FLAIR MR.
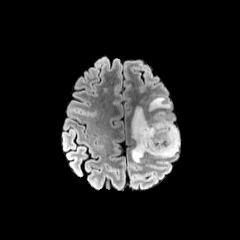
T1-weighted magnetic resonance.
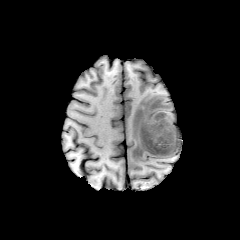
Post-contrast T1-weighted MR image.
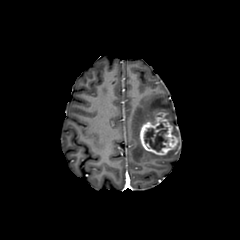
T2-weighted MR image.
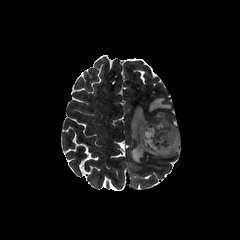
Brain.
{"peritumoral_edema": ["l=131, t=94, r=179, b=162"], "necrotic_tumor_core": ["l=144, t=122, r=167, b=151"], "enhancing_tumor": ["l=140, t=112, r=179, b=155"]}